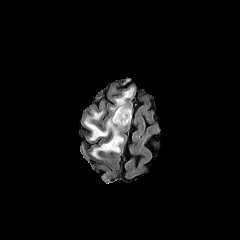
FLAIR MRI.
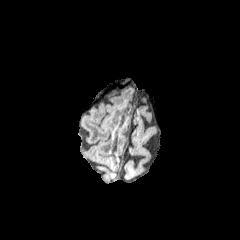
T1-weighted MR.
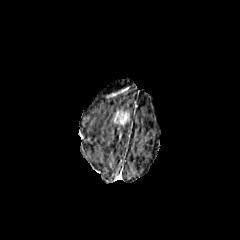
Post-contrast T1-weighted MR.
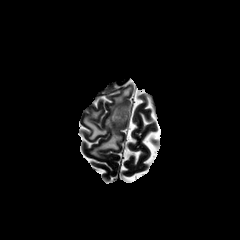
Same slice, T2-weighted MRI.
240x240 px; Axial slice; Brain
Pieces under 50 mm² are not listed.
The 2 largest peritumoral edema regions are located at (x1=84, y1=112, x2=123, y2=159), (x1=111, y1=89, x2=133, y2=117). The enhancing tumor appears at (x1=112, y1=108, x2=130, y2=127).